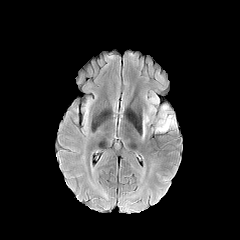
FLAIR MRI.
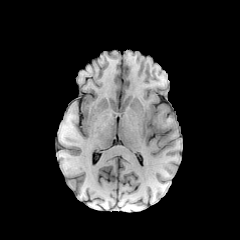
Same slice, T1-weighted MR.
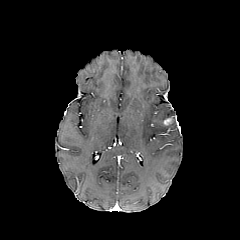
Post-contrast T1-weighted magnetic resonance of the same slice.
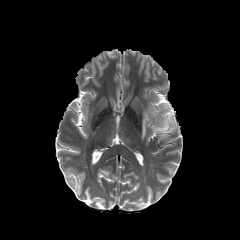
T2-weighted MR image of the same slice.
240x240 px | Brain
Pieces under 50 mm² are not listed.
The enhancing tumor lies within region(161, 118, 172, 125). The 2 largest peritumoral edema regions are located at region(156, 105, 176, 132); region(142, 113, 149, 139).